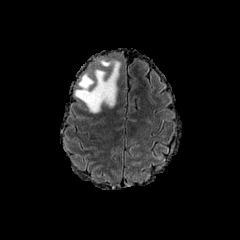
FLAIR MR image.
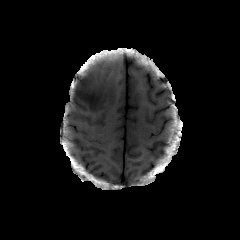
T1-weighted MR.
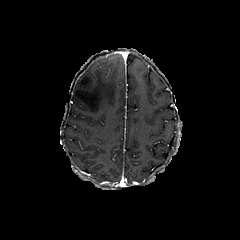
Post-contrast T1-weighted MR image.
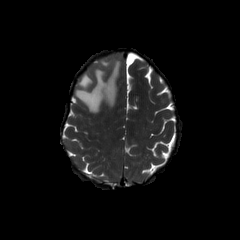
T2-weighted MR image.
Head. Axial plane.
peritumoral_edema:
  - box=[74, 59, 120, 113]